Slice 84 of 155. Head.
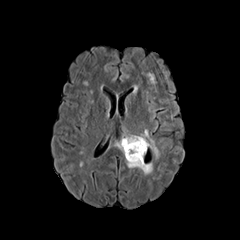
FLAIR magnetic resonance.
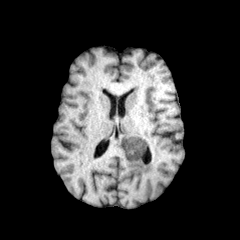
Same slice, T1-weighted magnetic resonance.
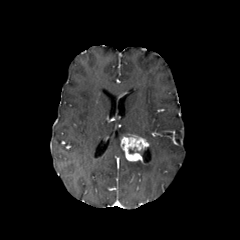
Post-contrast T1-weighted MR image.
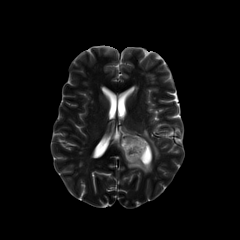
T2-weighted MR.
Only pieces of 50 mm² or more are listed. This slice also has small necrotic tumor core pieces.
enhancing tumor: bounding box [120,135,148,162]
peritumoral edema: bounding box [126,159,152,174], [114,141,124,155], [139,130,159,159]